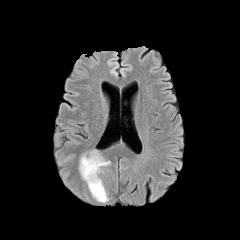
FLAIR magnetic resonance.
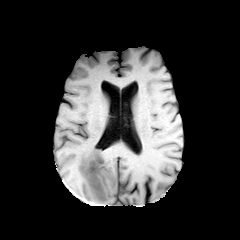
T1-weighted MR image.
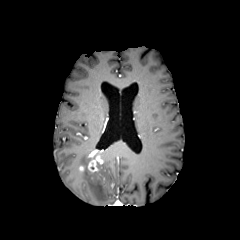
Post-contrast T1-weighted MR image.
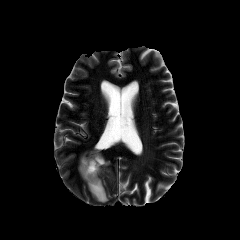
T2-weighted MRI.
Image size 240x240
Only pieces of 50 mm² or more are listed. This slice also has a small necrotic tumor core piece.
<segmentation>
  <enhancing_tumor>l=87, t=150, r=103, b=173</enhancing_tumor>
  <peritumoral_edema>l=79, t=153, r=110, b=202</peritumoral_edema>
</segmentation>